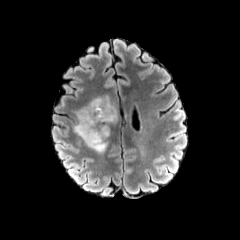
FLAIR MRI.
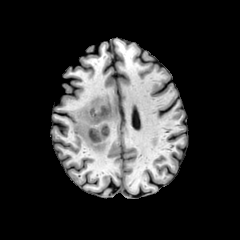
Same slice, T1-weighted magnetic resonance.
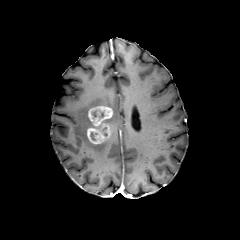
Post-contrast T1-weighted MR image of the same slice.
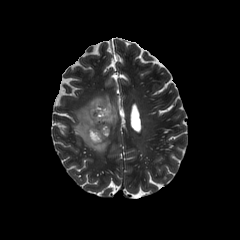
T2-weighted MR of the same slice.
Head; Image size 240x240
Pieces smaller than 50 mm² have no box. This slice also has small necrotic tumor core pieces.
{"enhancing_tumor": ["[x1=86, y1=105, x2=113, y2=144]"], "peritumoral_edema": ["[x1=73, y1=96, x2=117, y2=152]"]}